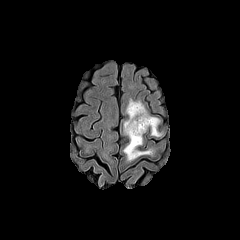
FLAIR MRI.
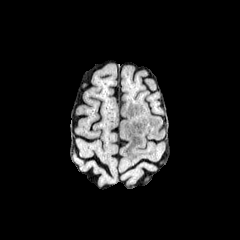
Same slice, T1-weighted magnetic resonance.
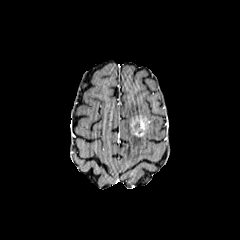
Post-contrast T1-weighted magnetic resonance.
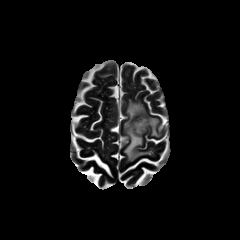
T2-weighted MR.
Axial slice
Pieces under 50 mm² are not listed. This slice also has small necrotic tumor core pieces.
The peritumoral edema is bounded by bbox=[123, 99, 161, 161]. The enhancing tumor is at bbox=[130, 116, 150, 136].